FLAIR magnetic resonance.
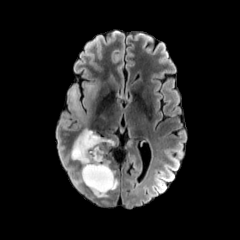
T1-weighted magnetic resonance.
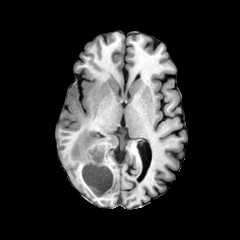
Post-contrast T1-weighted MR image.
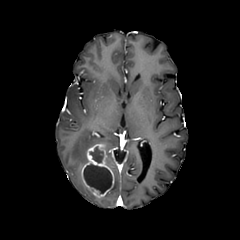
T2-weighted magnetic resonance.
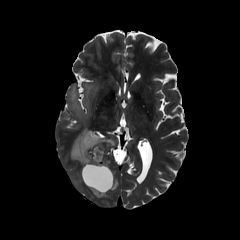
Brain
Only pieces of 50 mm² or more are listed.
Findings:
• necrotic tumor core: <bbox>89, 146, 103, 162</bbox>, <bbox>83, 163, 112, 193</bbox>
• enhancing tumor: <bbox>81, 143, 114, 198</bbox>
• peritumoral edema: <bbox>68, 79, 114, 165</bbox>, <bbox>110, 178, 118, 190</bbox>